Slice index 60 | Axial plane
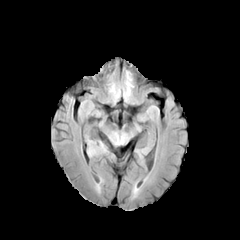
FLAIR magnetic resonance.
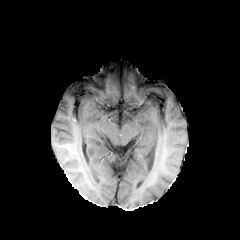
T1-weighted magnetic resonance.
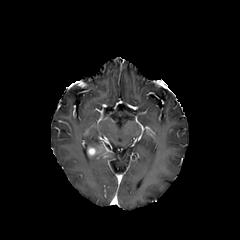
Same slice, post-contrast T1-weighted MRI.
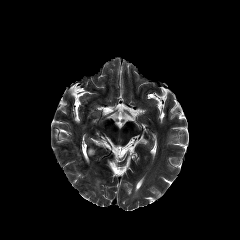
T2-weighted magnetic resonance.
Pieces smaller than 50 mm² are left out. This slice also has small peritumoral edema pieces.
enhancing tumor at box(87, 146, 109, 156)